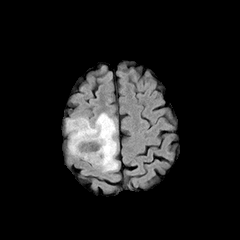
FLAIR MR.
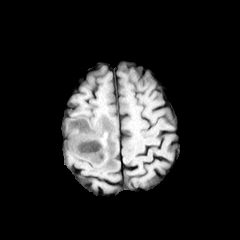
T1-weighted magnetic resonance.
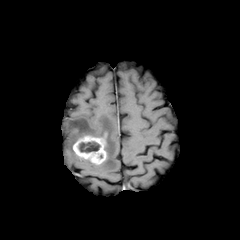
Post-contrast T1-weighted MR image.
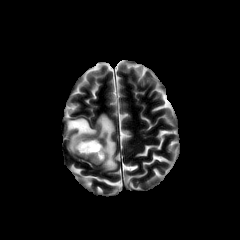
Same slice, T2-weighted MR image.
Head; Image size 240x240
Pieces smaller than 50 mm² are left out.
The largest necrotic tumor core region lies within l=79, t=141, r=100, b=152. The enhancing tumor is located at l=73, t=135, r=106, b=164. The largest peritumoral edema region is bounded by l=66, t=113, r=118, b=171.